FLAIR MR image.
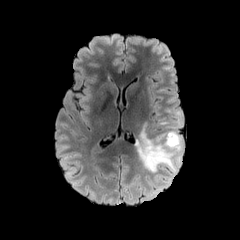
T1-weighted MR image.
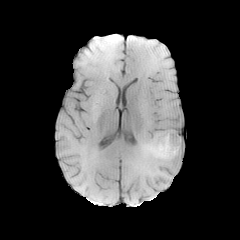
Post-contrast T1-weighted MRI.
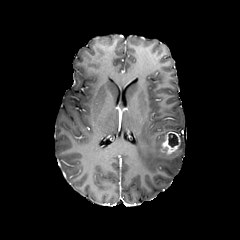
T2-weighted MR.
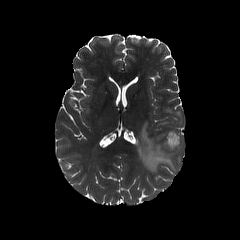
Axial view | Head
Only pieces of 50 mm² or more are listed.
peritumoral edema at (165,108,181,125), (135,123,183,174)
enhancing tumor at (160,131,180,156)
necrotic tumor core at (168,133,178,146)